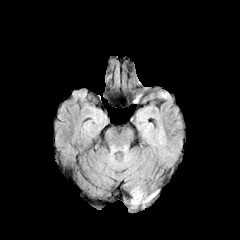
FLAIR MR.
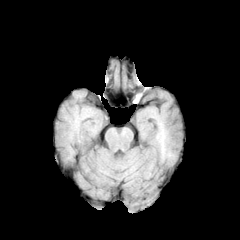
T1-weighted magnetic resonance.
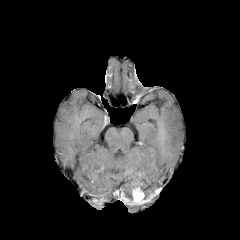
Post-contrast T1-weighted MR image.
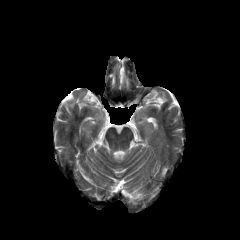
T2-weighted MR.
Brain, Axial slice
The enhancing tumor lies within (132, 188, 144, 201).